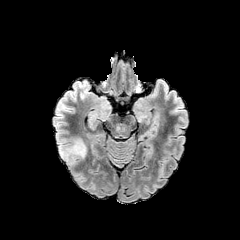
FLAIR MR image.
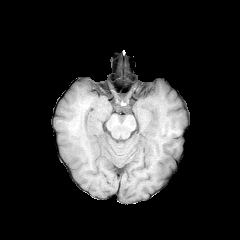
T1-weighted magnetic resonance of the same slice.
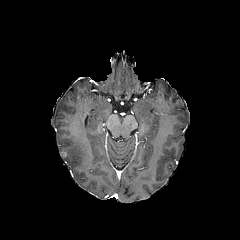
Post-contrast T1-weighted MR image of the same slice.
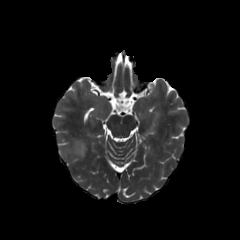
Same slice, T2-weighted magnetic resonance.
Head
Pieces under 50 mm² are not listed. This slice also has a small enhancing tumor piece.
Findings:
- peritumoral edema: {"x1": 59, "y1": 139, "x2": 86, "y2": 164}